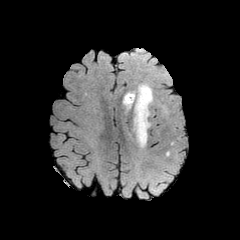
FLAIR MR.
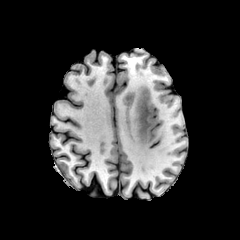
T1-weighted MR image of the same slice.
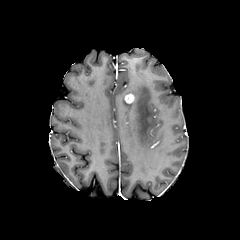
Same slice, post-contrast T1-weighted MR.
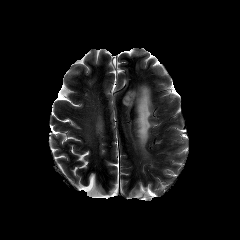
Same slice, T2-weighted MRI.
Brain. 240x240. Axial plane.
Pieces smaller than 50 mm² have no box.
enhancing tumor: bounding box [x1=125, y1=93, x2=134, y2=103]
peritumoral edema: bounding box [x1=127, y1=84, x2=152, y2=148]